FLAIR magnetic resonance.
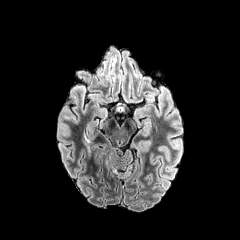
T1-weighted MRI.
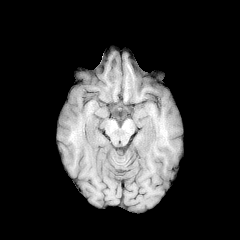
Post-contrast T1-weighted MR image.
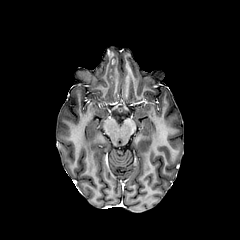
T2-weighted MRI.
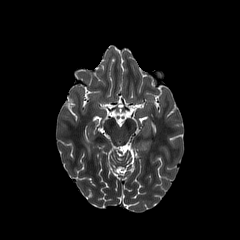
Head | 240x240 px
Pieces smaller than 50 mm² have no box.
peritumoral edema: 83, 135, 91, 155